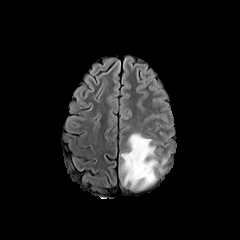
FLAIR MR.
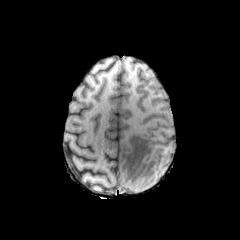
T1-weighted magnetic resonance.
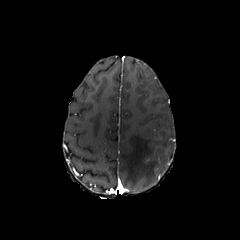
Post-contrast T1-weighted MR of the same slice.
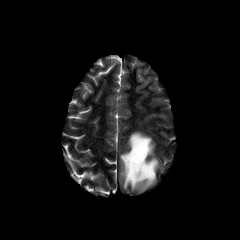
T2-weighted MRI of the same slice.
Axial plane.
peritumoral edema: bbox=[120, 132, 167, 189]